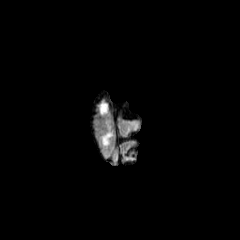
FLAIR magnetic resonance.
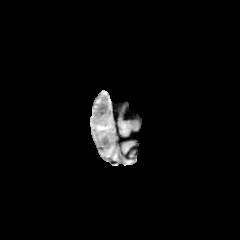
Same slice, T1-weighted MR.
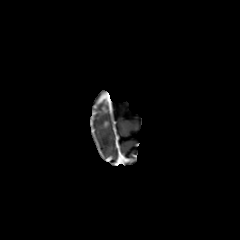
Post-contrast T1-weighted MRI.
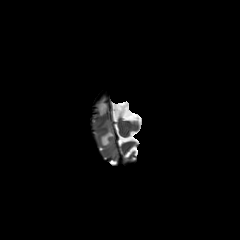
Same slice, T2-weighted MR image.
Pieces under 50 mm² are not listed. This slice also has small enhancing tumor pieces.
<segmentation>
  <peritumoral_edema>100,119,113,146; 97,101,108,117</peritumoral_edema>
</segmentation>